FLAIR magnetic resonance.
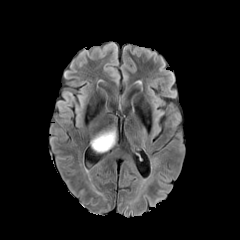
T1-weighted MR image.
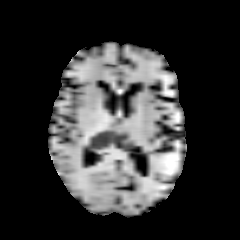
Post-contrast T1-weighted MR image.
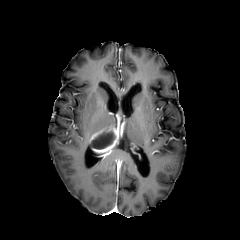
T2-weighted magnetic resonance.
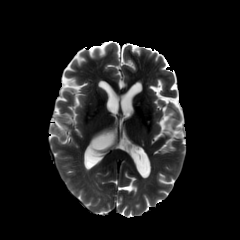
Brain. Axial plane.
enhancing_tumor:
  - [90, 126, 118, 156]
necrotic_tumor_core:
  - [92, 133, 114, 149]